240x240 | Head
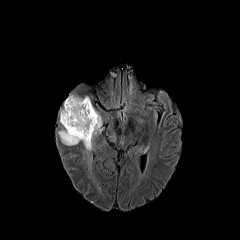
FLAIR MRI.
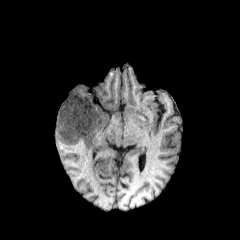
T1-weighted magnetic resonance.
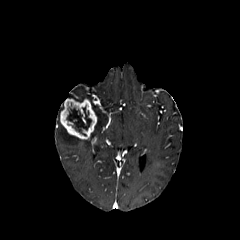
Same slice, post-contrast T1-weighted MR image.
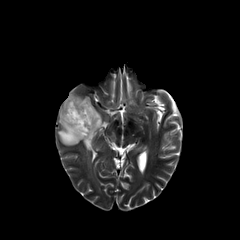
T2-weighted MRI of the same slice.
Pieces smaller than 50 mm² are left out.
necrotic tumor core: 66 107 91 135
peritumoral edema: 58 106 102 169
enhancing tumor: 60 98 97 139